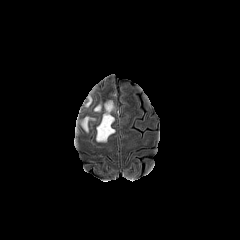
FLAIR MR image.
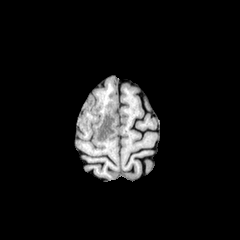
T1-weighted MR image.
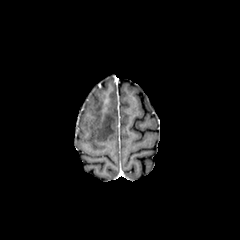
Post-contrast T1-weighted magnetic resonance of the same slice.
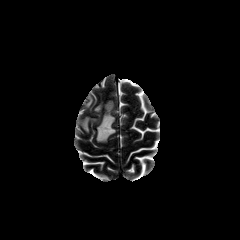
T2-weighted MR.
Head; Axial slice
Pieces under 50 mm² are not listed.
peritumoral edema: bounding box [96, 100, 115, 142], [81, 117, 95, 132]